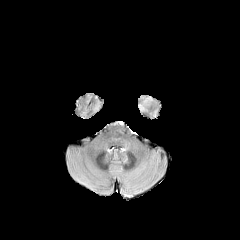
FLAIR MR.
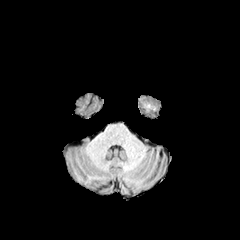
T1-weighted MRI.
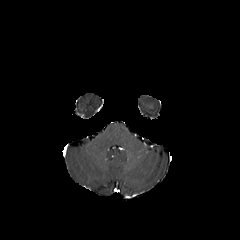
Post-contrast T1-weighted MR.
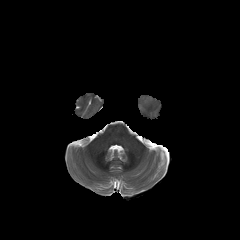
T2-weighted MRI.
Axial plane, Head
The peritumoral edema appears at x1=138 y1=95 x2=152 y2=111.